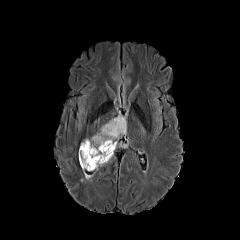
FLAIR magnetic resonance.
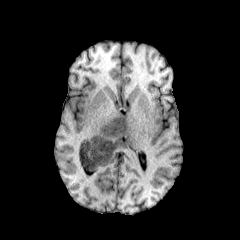
T1-weighted MR image.
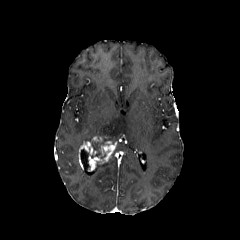
Post-contrast T1-weighted MRI.
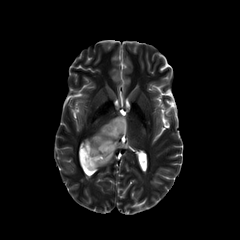
T2-weighted MR image.
Image size 240x240
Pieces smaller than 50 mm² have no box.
peritumoral_edema:
  - <box>94,114,126,143</box>
enhancing_tumor:
  - <box>79,136,117,171</box>
necrotic_tumor_core:
  - <box>92,137,108,156</box>
  - <box>80,149,89,170</box>